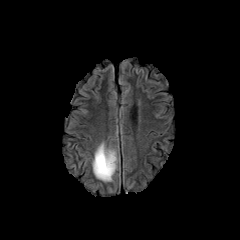
FLAIR magnetic resonance.
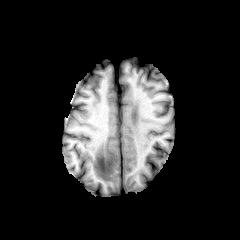
Same slice, T1-weighted MR.
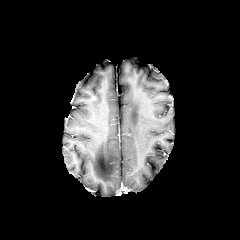
Post-contrast T1-weighted MR of the same slice.
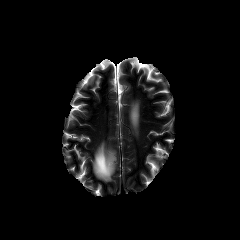
T2-weighted MRI of the same slice.
Image size 240x240. Brain.
The peritumoral edema is located at bbox=[92, 143, 116, 181].